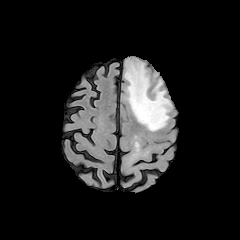
FLAIR MR.
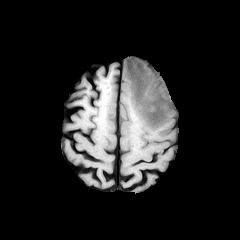
T1-weighted MR image.
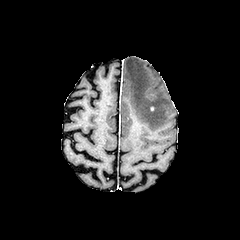
Same slice, post-contrast T1-weighted MR image.
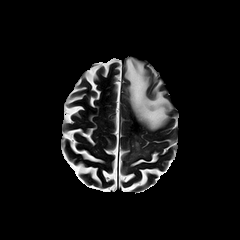
T2-weighted magnetic resonance.
240x240 px; Axial slice
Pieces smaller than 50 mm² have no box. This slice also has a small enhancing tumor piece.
The largest peritumoral edema region appears at box=[124, 58, 172, 130].